FLAIR MRI.
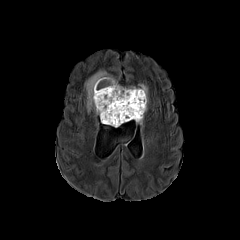
T1-weighted MR image.
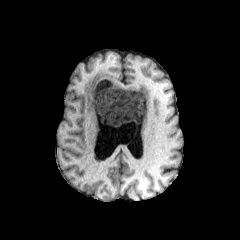
Post-contrast T1-weighted MRI.
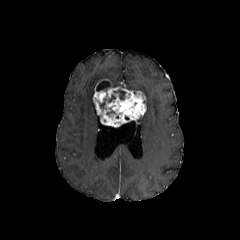
T2-weighted MR image.
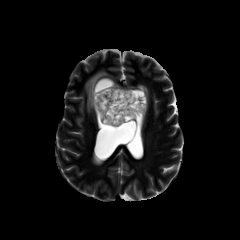
Axial view | Image size 240x240 | Head
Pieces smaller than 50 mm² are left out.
necrotic tumor core: bounding box 118:90:125:99, 96:81:111:91
peritumoral edema: bounding box 85:70:119:113, 126:84:148:105
enhancing tumor: bounding box 93:79:146:127